FLAIR MR.
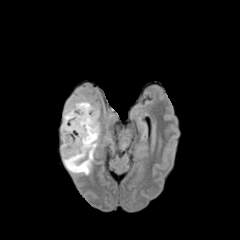
T1-weighted MRI.
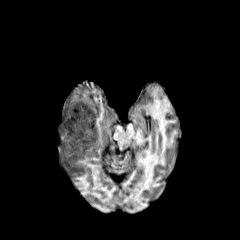
Post-contrast T1-weighted MRI.
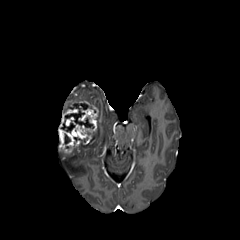
T2-weighted magnetic resonance.
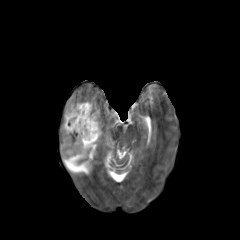
Brain; 240x240 px
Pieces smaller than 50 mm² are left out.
The 2 largest necrotic tumor core regions are located at region(65, 103, 93, 128); region(61, 120, 74, 132). The largest peritumoral edema region lies within region(62, 127, 99, 174). The largest enhancing tumor region lies within region(58, 99, 98, 153).